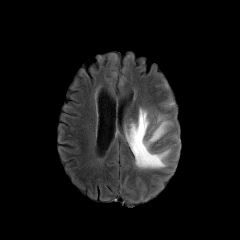
FLAIR MR.
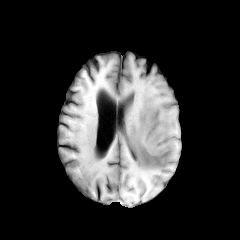
T1-weighted magnetic resonance of the same slice.
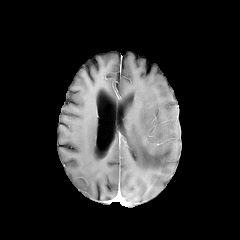
Post-contrast T1-weighted magnetic resonance.
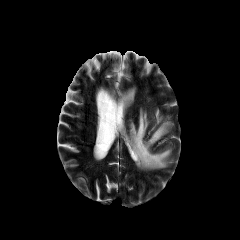
T2-weighted MR.
Head; Axial plane
<segmentation>
  <peritumoral_edema>x1=125 y1=108 x2=171 y2=169</peritumoral_edema>
</segmentation>